FLAIR MRI.
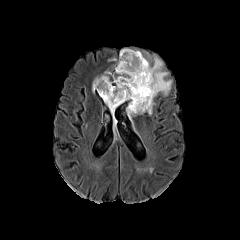
T1-weighted magnetic resonance.
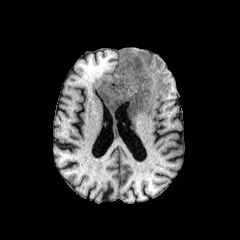
Post-contrast T1-weighted magnetic resonance.
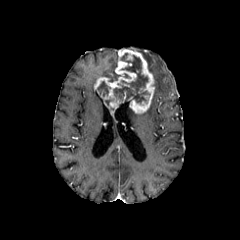
T2-weighted MR.
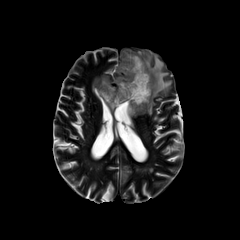
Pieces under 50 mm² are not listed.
Annotated regions:
- necrotic tumor core: left=114, top=53, right=149, bottom=102; left=97, top=81, right=110, bottom=96
- peritumoral edema: left=99, top=71, right=120, bottom=81; left=144, top=53, right=172, bottom=115; left=126, top=106, right=141, bottom=122
- enhancing tumor: left=94, top=49, right=154, bottom=114